FLAIR MRI.
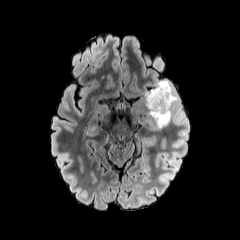
T1-weighted MR image.
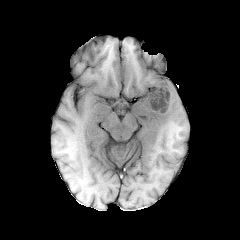
Post-contrast T1-weighted MR.
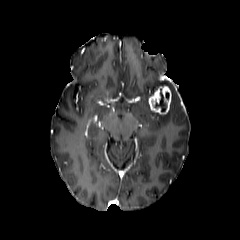
T2-weighted MRI.
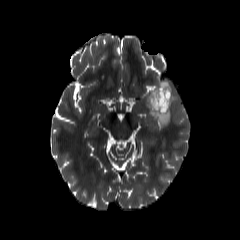
Brain.
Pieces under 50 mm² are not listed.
peritumoral edema at bbox(145, 79, 179, 127)
enhancing tumor at bbox(148, 85, 171, 114)
necrotic tumor core at bbox(155, 92, 166, 111)